Image covers 240 mm x 240 mm, Axial plane, Slice index 78
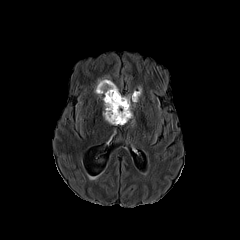
FLAIR MRI.
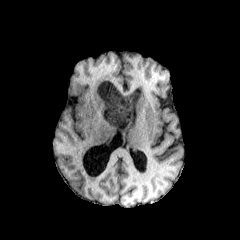
T1-weighted MR.
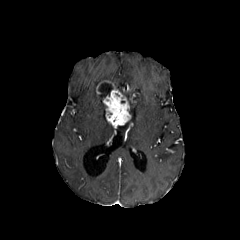
Post-contrast T1-weighted MRI of the same slice.
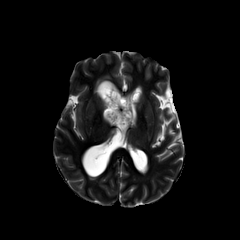
T2-weighted MR image.
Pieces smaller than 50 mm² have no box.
peritumoral edema — {"x1": 125, "y1": 88, "x2": 141, "y2": 117}
necrotic tumor core — {"x1": 98, "y1": 82, "x2": 112, "y2": 97}
enhancing tumor — {"x1": 96, "y1": 80, "x2": 130, "y2": 125}